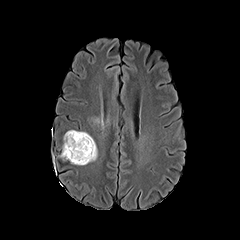
FLAIR MRI.
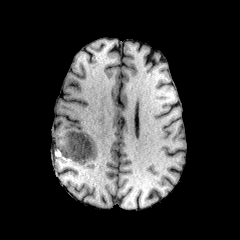
T1-weighted magnetic resonance.
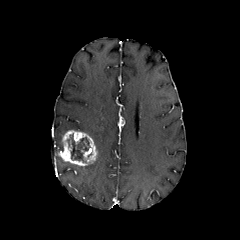
Post-contrast T1-weighted MR of the same slice.
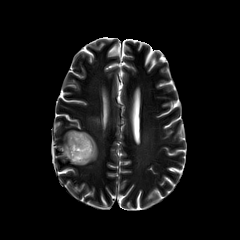
T2-weighted MR image of the same slice.
Axial slice; 240x240
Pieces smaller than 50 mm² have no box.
Annotated regions:
• necrotic tumor core: left=67, top=134, right=89, bottom=162
• enhancing tumor: left=59, top=130, right=97, bottom=165
• peritumoral edema: left=92, top=117, right=103, bottom=125